Slice index 111 | Brain
FLAIR MR.
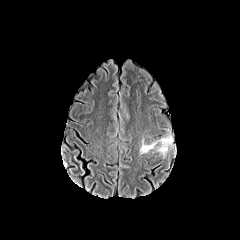
T1-weighted MR image.
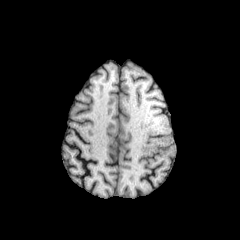
Post-contrast T1-weighted MRI.
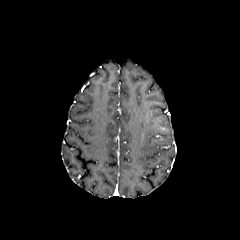
T2-weighted MR image.
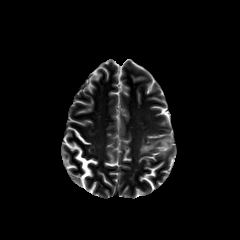
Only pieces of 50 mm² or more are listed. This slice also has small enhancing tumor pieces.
The peritumoral edema appears at x1=140 y1=134 x2=172 y2=157.